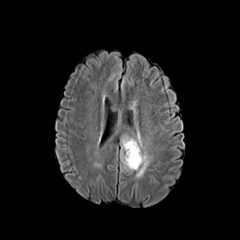
FLAIR MRI.
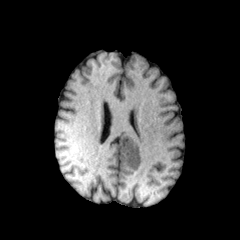
T1-weighted MR image of the same slice.
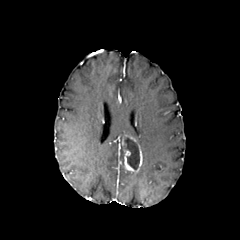
Same slice, post-contrast T1-weighted magnetic resonance.
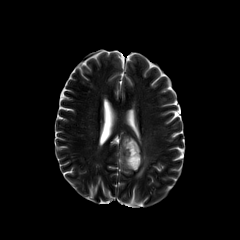
T2-weighted MR of the same slice.
Brain. 240x240 px. Axial slice.
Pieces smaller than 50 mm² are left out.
Segmented structures:
• necrotic tumor core: bbox=[122, 137, 139, 169]
• peritumoral edema: bbox=[136, 147, 149, 177]; bbox=[120, 133, 125, 160]
• enhancing tumor: bbox=[122, 135, 136, 146]; bbox=[123, 144, 142, 172]